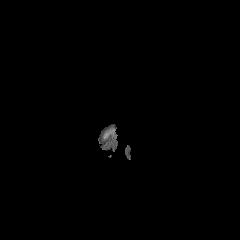
FLAIR magnetic resonance.
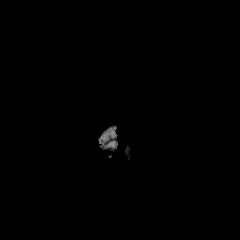
T1-weighted MR of the same slice.
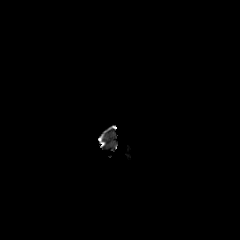
Post-contrast T1-weighted magnetic resonance.
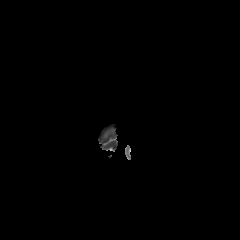
T2-weighted MRI of the same slice.
The peritumoral edema appears at 104, 129, 113, 136.